Image covers 240 mm x 240 mm, Head
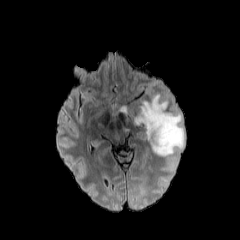
FLAIR MRI.
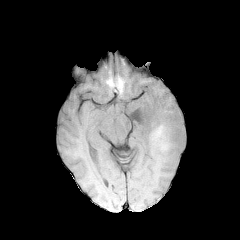
T1-weighted MRI.
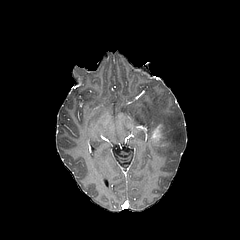
Post-contrast T1-weighted MR image.
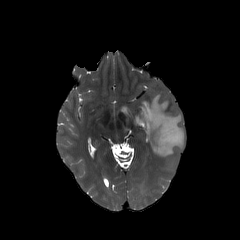
Same slice, T2-weighted magnetic resonance.
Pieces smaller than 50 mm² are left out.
The enhancing tumor is at bbox(151, 128, 160, 141). The largest peritumoral edema region is at bbox(134, 94, 185, 156).